FLAIR MR image.
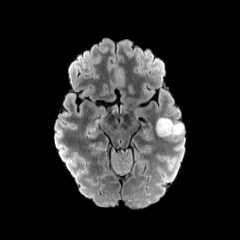
T1-weighted magnetic resonance.
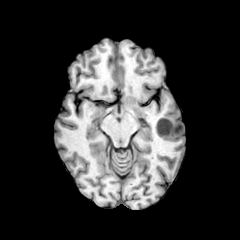
Post-contrast T1-weighted MR.
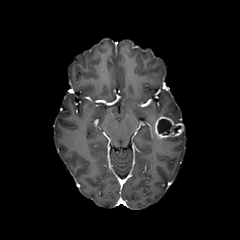
T2-weighted magnetic resonance.
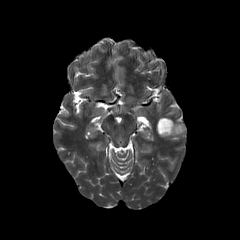
Axial plane | Head
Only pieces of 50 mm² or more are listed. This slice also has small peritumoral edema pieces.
{"necrotic_tumor_core": ["157 119 181 134"], "enhancing_tumor": ["155 116 183 138"]}